Image covers 240 mm x 240 mm
FLAIR MR image.
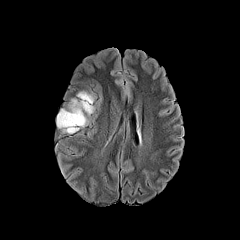
T1-weighted MR image.
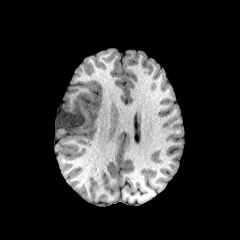
Post-contrast T1-weighted MR.
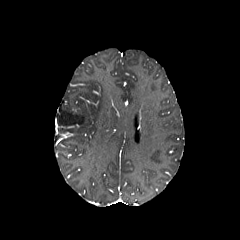
T2-weighted MR.
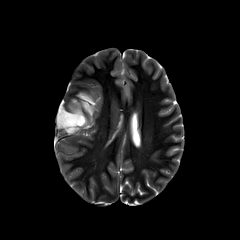
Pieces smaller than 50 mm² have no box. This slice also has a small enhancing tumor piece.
The peritumoral edema is located at (left=57, top=91, right=94, bottom=132).